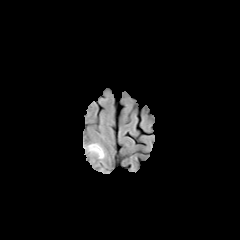
FLAIR MR image.
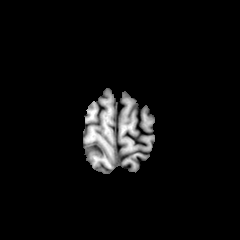
T1-weighted MR.
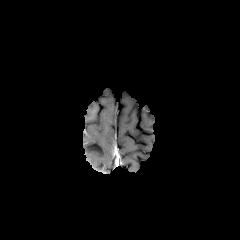
Post-contrast T1-weighted magnetic resonance of the same slice.
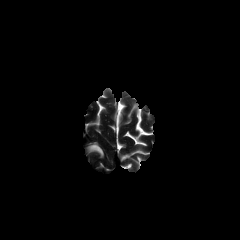
Same slice, T2-weighted MRI.
Axial view
The peritumoral edema is located at (87,143,104,158).